FLAIR MR.
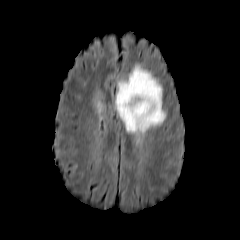
T1-weighted MR image.
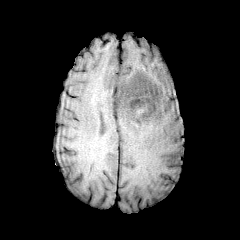
Post-contrast T1-weighted MR image.
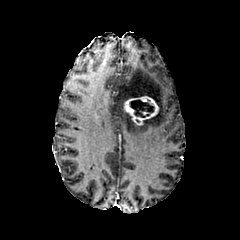
T2-weighted MRI.
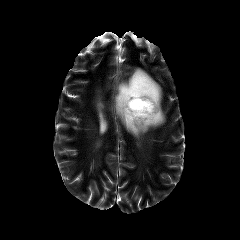
Image size 240x240; Brain
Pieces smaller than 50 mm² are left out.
enhancing tumor at region(124, 96, 158, 125)
peritumoral edema at region(115, 65, 165, 139)
necrotic tumor core at region(130, 99, 154, 117)